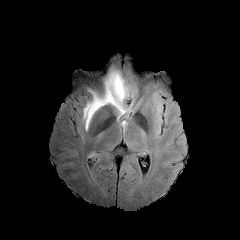
FLAIR magnetic resonance.
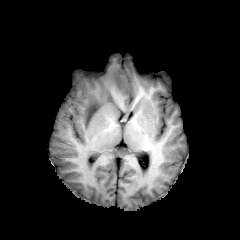
T1-weighted MRI.
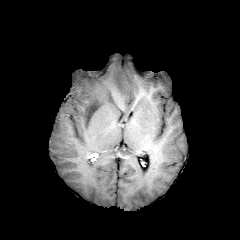
Post-contrast T1-weighted MRI.
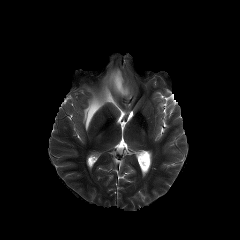
T2-weighted MRI.
Head, Axial plane
peritumoral edema: [83,69,130,130]